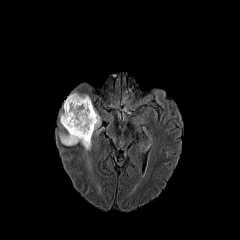
FLAIR magnetic resonance.
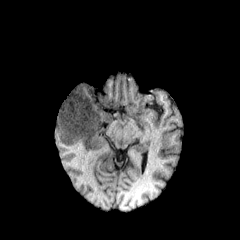
T1-weighted MR image.
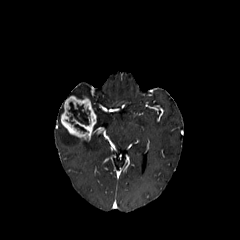
Post-contrast T1-weighted MR of the same slice.
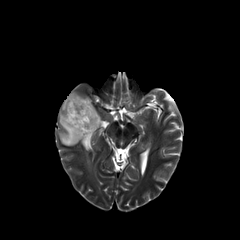
T2-weighted MR of the same slice.
Axial view; 240x240
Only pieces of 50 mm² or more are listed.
peritumoral edema = box(92, 104, 101, 130); box(68, 92, 90, 99); box(58, 128, 91, 151)
necrotic tumor core = box(68, 102, 89, 125); box(74, 124, 86, 132)
enhancing tumor = box(61, 95, 96, 141)